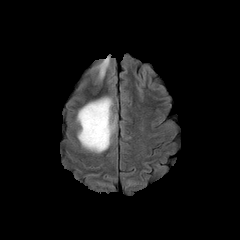
FLAIR MR image.
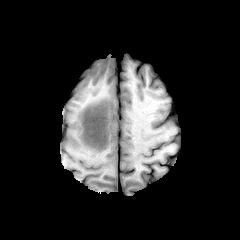
Same slice, T1-weighted MR image.
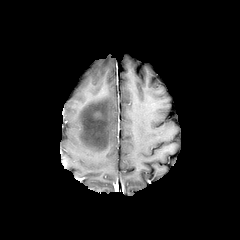
Post-contrast T1-weighted magnetic resonance.
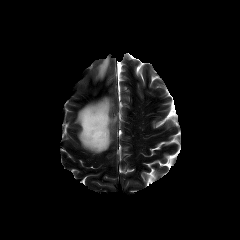
T2-weighted MRI of the same slice.
Axial slice; Head; 240x240
2 peritumoral edema regions are located at <bbox>98, 57, 109, 78</bbox>, <bbox>77, 97, 115, 152</bbox>. The enhancing tumor lies within <bbox>94, 111, 103, 120</bbox>.